Axial plane, Image width 240 mm
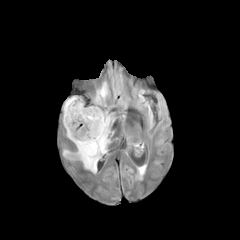
FLAIR MR image.
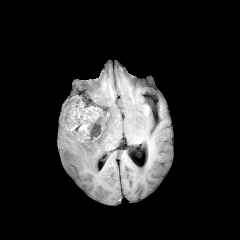
T1-weighted magnetic resonance of the same slice.
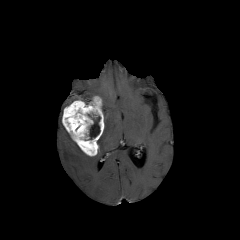
Post-contrast T1-weighted MR of the same slice.
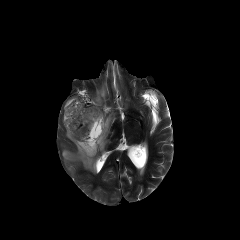
T2-weighted magnetic resonance.
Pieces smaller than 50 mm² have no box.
- peritumoral edema: (left=95, top=82, right=108, bottom=102), (left=63, top=111, right=114, bottom=173), (left=64, top=96, right=78, bottom=107)
- necrotic tumor core: (left=89, top=116, right=100, bottom=139)
- enhancing tumor: (left=62, top=96, right=104, bottom=156)